FLAIR MR image.
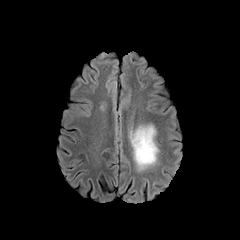
T1-weighted magnetic resonance.
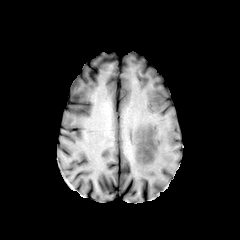
Post-contrast T1-weighted MR image.
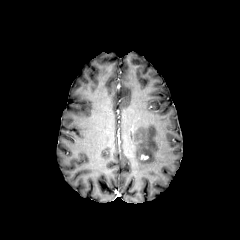
T2-weighted MR.
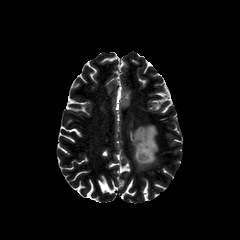
Head
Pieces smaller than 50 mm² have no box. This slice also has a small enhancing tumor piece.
peritumoral edema — box=[130, 125, 158, 169]